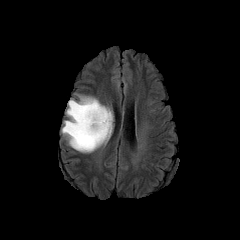
FLAIR MR.
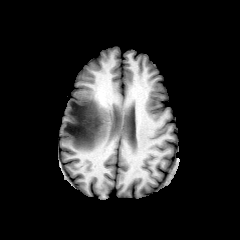
T1-weighted MR image of the same slice.
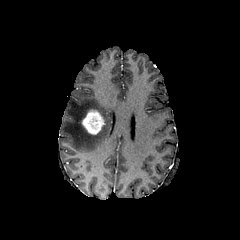
Post-contrast T1-weighted MR of the same slice.
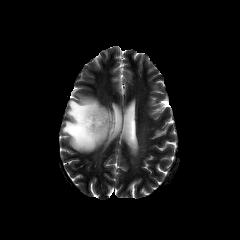
T2-weighted MRI of the same slice.
Axial view
{"enhancing_tumor": ["(81, 109, 104, 134)"], "peritumoral_edema": ["(62, 96, 112, 152)"]}